Slice index 62 | Image size 240x240 | Axial plane
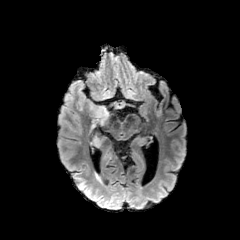
FLAIR MRI.
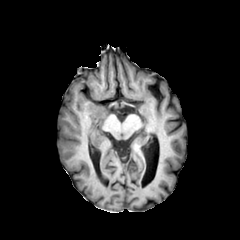
Same slice, T1-weighted MRI.
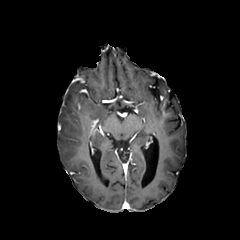
Post-contrast T1-weighted MRI.
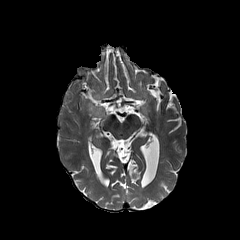
Same slice, T2-weighted MR.
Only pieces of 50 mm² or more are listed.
peritumoral edema: [x1=69, y1=79, x2=84, y2=89], [x1=87, y1=101, x2=109, y2=148]